Axial plane. Head.
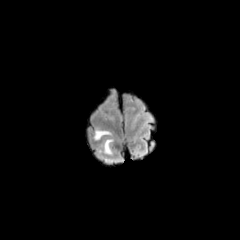
FLAIR MR image.
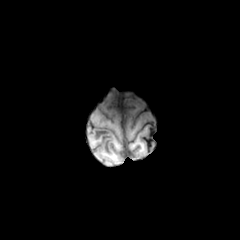
Same slice, T1-weighted MR.
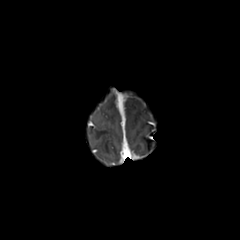
Post-contrast T1-weighted magnetic resonance.
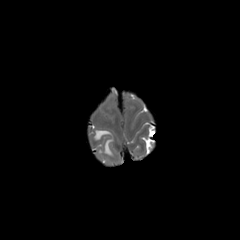
T2-weighted MR.
peritumoral edema at 93:129:116:162